Axial slice, Image covers 240 mm x 240 mm, Slice 65 of 155
FLAIR MR image.
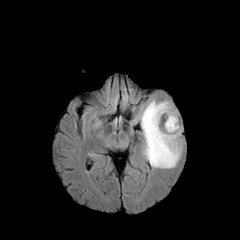
T1-weighted magnetic resonance.
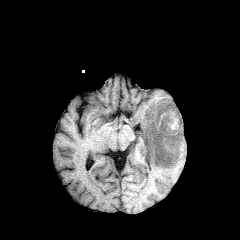
Post-contrast T1-weighted MRI.
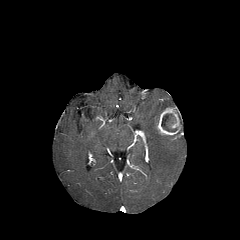
T2-weighted magnetic resonance.
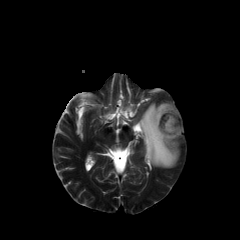
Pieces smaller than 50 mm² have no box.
{
  "necrotic_tumor_core": [
    "left=161, top=114, right=176, bottom=131"
  ],
  "peritumoral_edema": [
    "left=134, top=100, right=181, bottom=168"
  ],
  "enhancing_tumor": [
    "left=156, top=107, right=181, bottom=139"
  ]
}